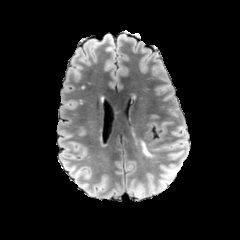
FLAIR MR.
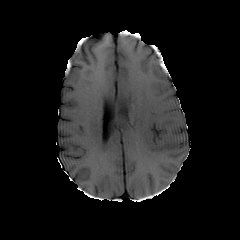
T1-weighted magnetic resonance.
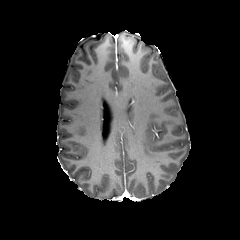
Post-contrast T1-weighted MR image.
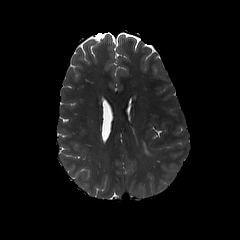
T2-weighted magnetic resonance.
Axial slice; Image size 240x240; Brain
peritumoral edema = x1=140, y1=141, x2=155, y2=157